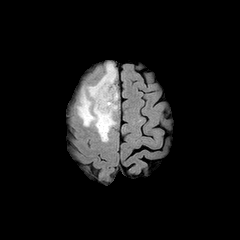
FLAIR MR.
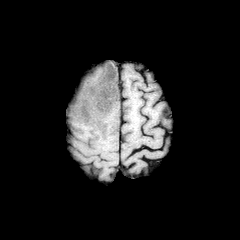
T1-weighted MR of the same slice.
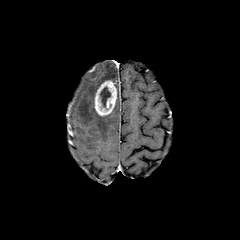
Post-contrast T1-weighted MR.
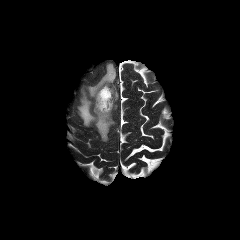
T2-weighted MR image.
Head, Axial plane
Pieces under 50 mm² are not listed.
The largest peritumoral edema region appears at region(77, 63, 117, 141). The enhancing tumor lies within region(94, 80, 117, 116). The necrotic tumor core is bounded by region(100, 87, 110, 107).